FLAIR MR.
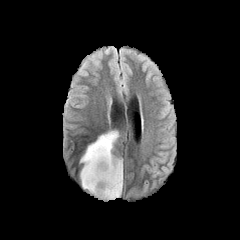
T1-weighted MR.
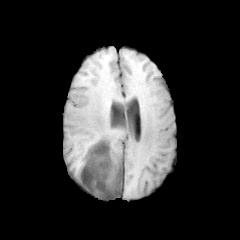
Post-contrast T1-weighted magnetic resonance.
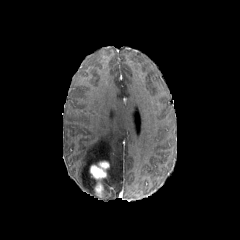
T2-weighted MRI.
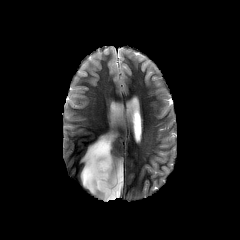
Head | 240x240 px
- peritumoral edema: (x1=80, y1=131, x2=122, y2=199)
- enhancing tumor: (x1=89, y1=160, x2=110, y2=198)